Image size 240x240. Slice 100 of 155.
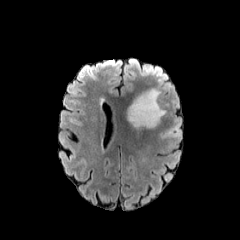
FLAIR MR image.
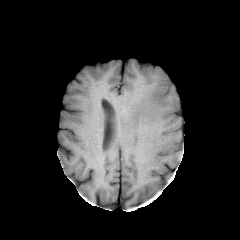
T1-weighted magnetic resonance.
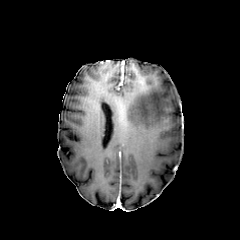
Post-contrast T1-weighted MRI of the same slice.
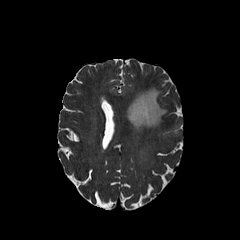
Same slice, T2-weighted MR.
peritumoral edema: 129, 88, 166, 128